FLAIR MRI.
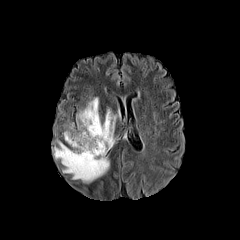
T1-weighted MRI.
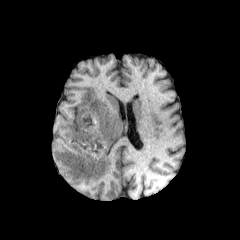
Post-contrast T1-weighted MR.
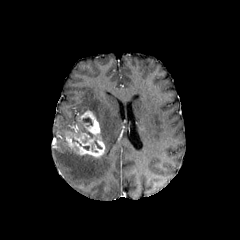
T2-weighted MRI.
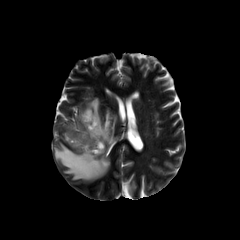
Head
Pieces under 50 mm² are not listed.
necrotic_tumor_core:
  - (left=82, top=117, right=92, bottom=126)
  - (left=80, top=124, right=93, bottom=138)
enhancing_tumor:
  - (left=65, top=110, right=105, bottom=157)
peritumoral_edema:
  - (left=54, top=97, right=116, bottom=183)